FLAIR MR.
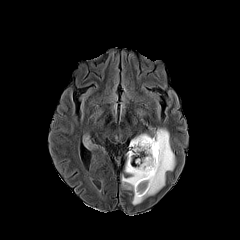
T1-weighted MR image.
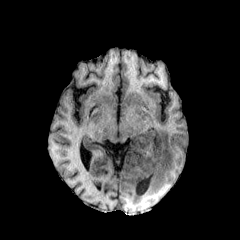
Post-contrast T1-weighted MRI.
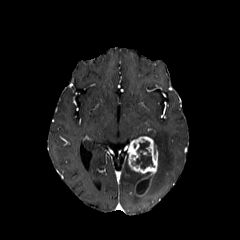
T2-weighted magnetic resonance.
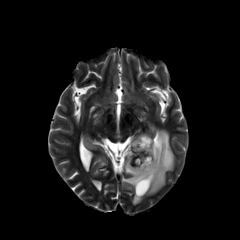
Brain
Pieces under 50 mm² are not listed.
Findings:
- necrotic tumor core: left=137, top=177, right=151, bottom=194; left=132, top=141, right=153, bottom=169
- peritumoral edema: left=83, top=134, right=97, bottom=148; left=121, top=128, right=175, bottom=204
- enhancing tumor: left=127, top=136, right=158, bottom=196